Axial view. Brain.
FLAIR MRI.
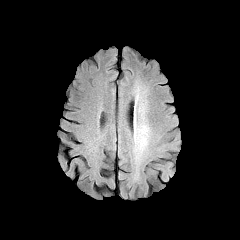
T1-weighted MR image.
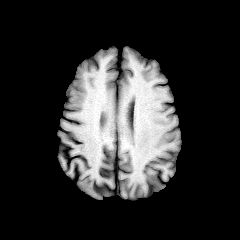
Post-contrast T1-weighted magnetic resonance.
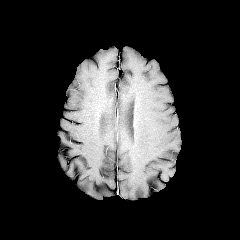
T2-weighted MR image.
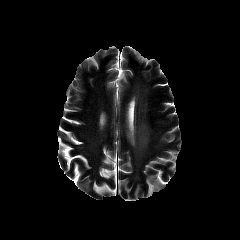
The peritumoral edema is bounded by [138,125,148,148].